FLAIR MR.
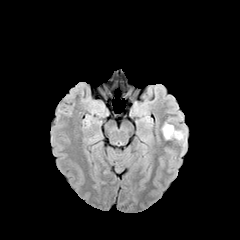
T1-weighted MR image.
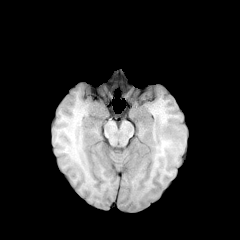
Post-contrast T1-weighted MR.
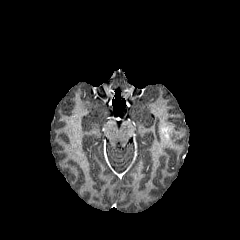
T2-weighted magnetic resonance.
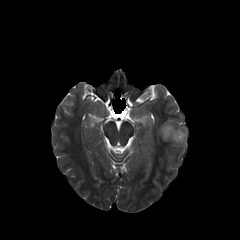
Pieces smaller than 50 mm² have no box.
Findings:
- enhancing tumor: rect(161, 124, 172, 139)
- peritumoral edema: rect(164, 121, 187, 145)